FLAIR MR image.
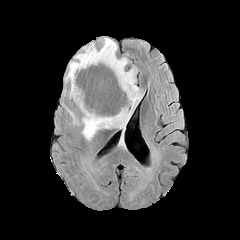
T1-weighted MR image.
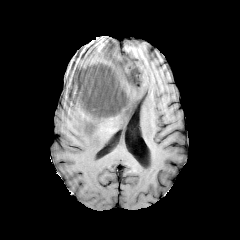
Post-contrast T1-weighted magnetic resonance.
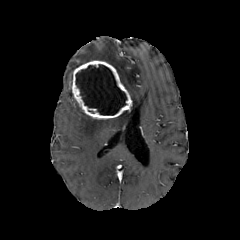
T2-weighted MR image.
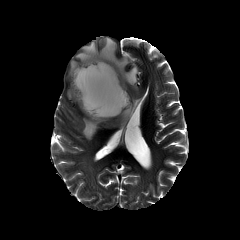
240x240.
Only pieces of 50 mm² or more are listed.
peritumoral_edema:
  - (68, 86, 77, 104)
  - (65, 37, 142, 140)
enhancing_tumor:
  - (70, 60, 132, 119)
necrotic_tumor_core:
  - (76, 65, 126, 115)